Axial view | Brain | Image width 240 mm, 1.00 mm slice spacing
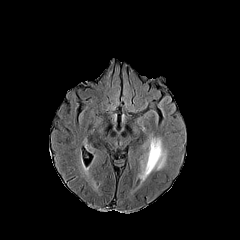
FLAIR MR.
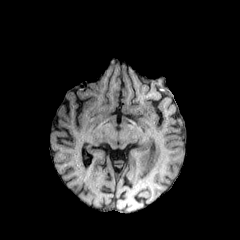
Same slice, T1-weighted MR image.
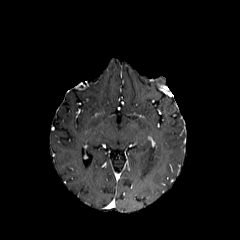
Same slice, post-contrast T1-weighted MR.
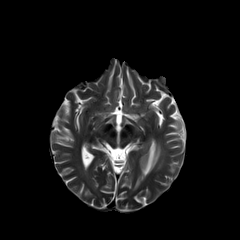
Same slice, T2-weighted MR image.
• peritumoral edema: bbox(141, 138, 166, 179)